Head
FLAIR MR.
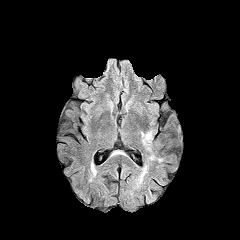
T1-weighted MRI.
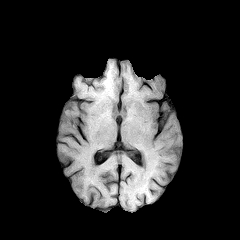
Post-contrast T1-weighted MR image.
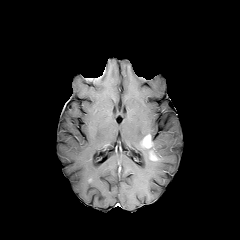
T2-weighted magnetic resonance.
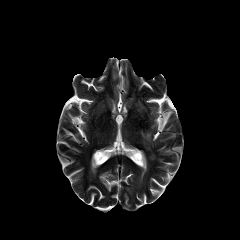
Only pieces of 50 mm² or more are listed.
enhancing tumor — 143:134:152:147
peritumoral edema — 141:130:152:145